Image size 240x240, Brain, Axial plane
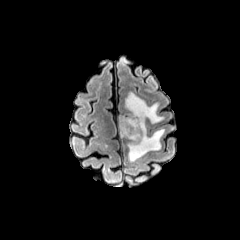
FLAIR MR.
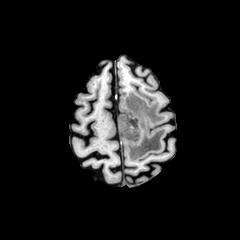
T1-weighted magnetic resonance.
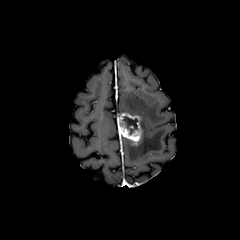
Post-contrast T1-weighted MR image.
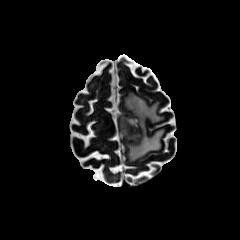
T2-weighted magnetic resonance of the same slice.
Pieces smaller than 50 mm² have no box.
<segmentation>
  <necrotic_tumor_core>box(123, 116, 137, 134)</necrotic_tumor_core>
  <enhancing_tumor>box(117, 112, 141, 145)</enhancing_tumor>
  <peritumoral_edema>box(124, 92, 164, 161)</peritumoral_edema>
</segmentation>